Head, Slice 124 of 155, Image size 240x240
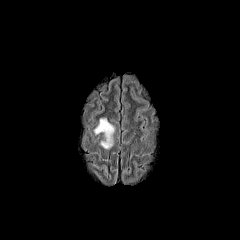
FLAIR MR image.
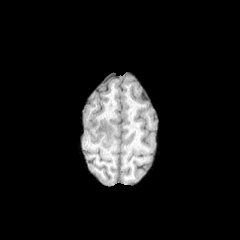
T1-weighted MRI of the same slice.
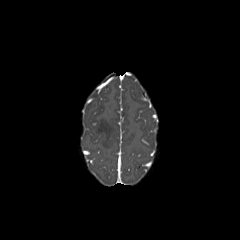
Same slice, post-contrast T1-weighted magnetic resonance.
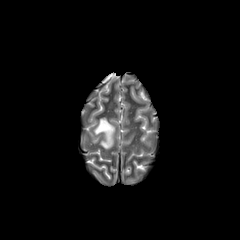
T2-weighted MRI.
peritumoral edema = <bbox>94, 118, 114, 149</bbox>